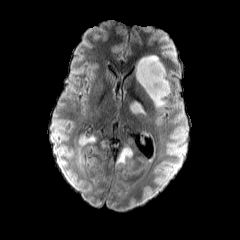
FLAIR magnetic resonance.
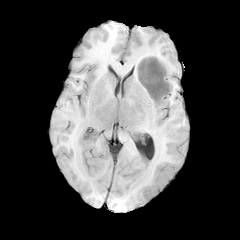
T1-weighted MR image.
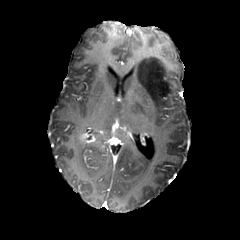
Post-contrast T1-weighted MR image.
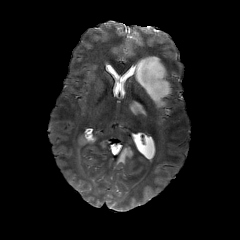
T2-weighted MR image.
Brain; Axial slice
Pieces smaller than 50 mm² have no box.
enhancing tumor: box(114, 120, 131, 132); box(80, 134, 95, 143)
peritumoral edema: box(130, 100, 144, 114); box(135, 55, 170, 106); box(117, 148, 132, 164)